FLAIR magnetic resonance.
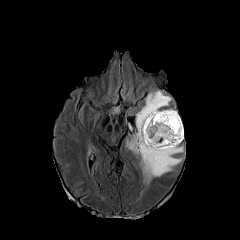
T1-weighted MR.
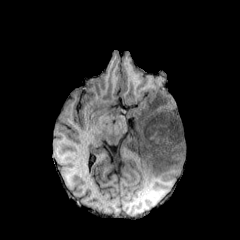
Post-contrast T1-weighted MR image.
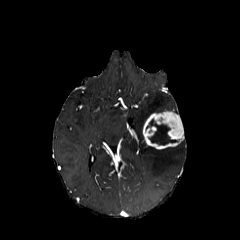
T2-weighted MR.
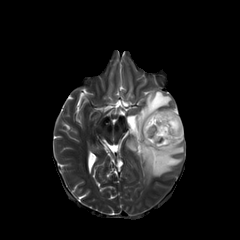
Head
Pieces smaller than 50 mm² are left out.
{"peritumoral_edema": ["rect(126, 90, 183, 183)"], "necrotic_tumor_core": ["rect(146, 119, 177, 144)"], "enhancing_tumor": ["rect(142, 110, 184, 149)"]}